FLAIR MRI.
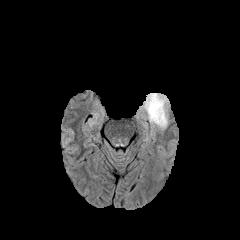
T1-weighted MR.
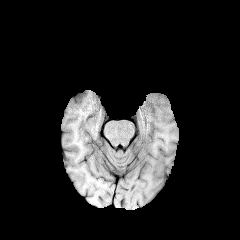
Post-contrast T1-weighted MRI.
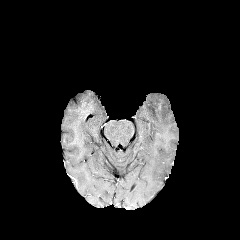
T2-weighted MR image.
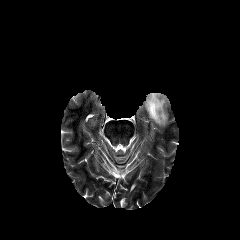
Axial plane | Brain
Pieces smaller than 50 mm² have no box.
The largest peritumoral edema region is bounded by x1=140, y1=93, x2=169, y2=130.